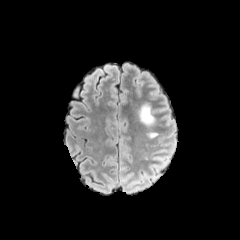
FLAIR magnetic resonance.
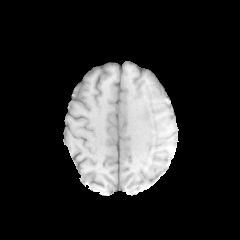
T1-weighted magnetic resonance.
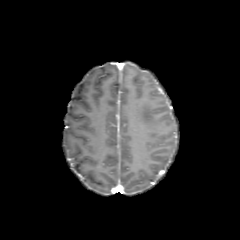
Post-contrast T1-weighted MRI of the same slice.
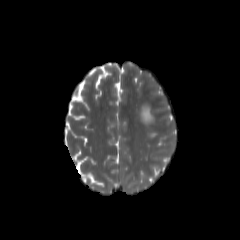
T2-weighted magnetic resonance.
240x240 px | Brain
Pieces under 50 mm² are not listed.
peritumoral edema: bounding box x1=139, y1=104, x2=154, y2=125